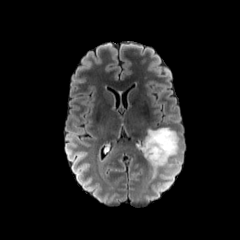
FLAIR magnetic resonance.
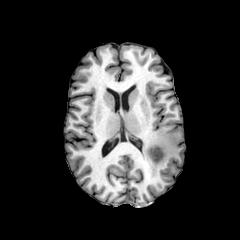
T1-weighted MR.
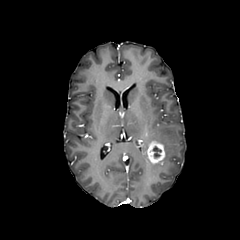
Post-contrast T1-weighted MR.
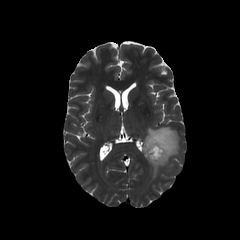
T2-weighted MR.
Brain | 240x240 px | Axial slice
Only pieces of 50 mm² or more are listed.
enhancing tumor: l=147, t=141, r=165, b=163
necrotic tumor core: l=153, t=146, r=161, b=158
peritumoral edema: l=143, t=127, r=178, b=174